Brain, Image covers 240 mm x 240 mm
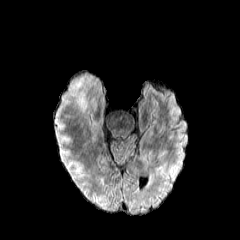
FLAIR MR image.
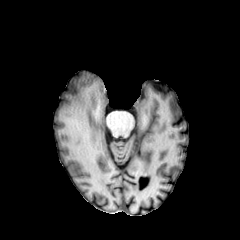
T1-weighted MR image of the same slice.
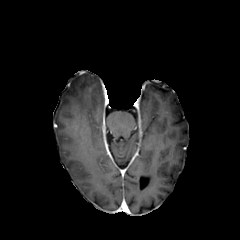
Post-contrast T1-weighted MR image of the same slice.
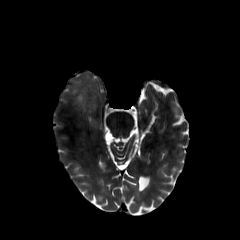
T2-weighted MRI.
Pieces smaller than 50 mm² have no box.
* peritumoral edema: x1=78, y1=93, x2=84, y2=106